Brain. Image size 240x240.
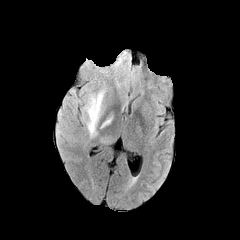
FLAIR magnetic resonance.
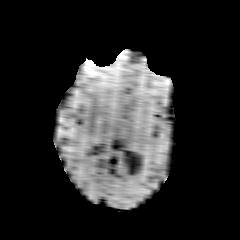
T1-weighted MR.
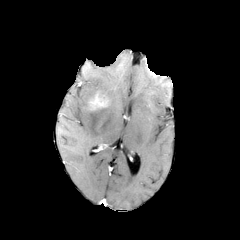
Post-contrast T1-weighted MRI of the same slice.
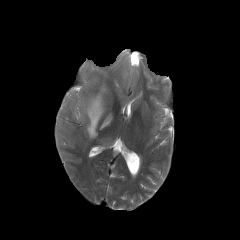
Same slice, T2-weighted magnetic resonance.
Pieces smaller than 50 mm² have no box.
<segmentation>
  <enhancing_tumor>(90,95,106,109)</enhancing_tumor>
  <peritumoral_edema>(85,96,102,136)</peritumoral_edema>
</segmentation>